Slice index 110. Head. Axial slice.
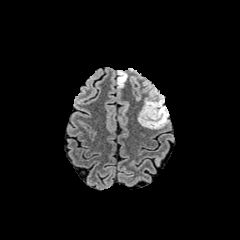
FLAIR MRI.
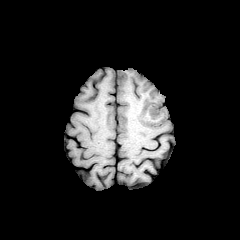
T1-weighted MRI.
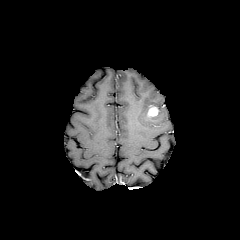
Same slice, post-contrast T1-weighted magnetic resonance.
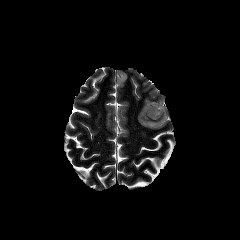
T2-weighted MR image.
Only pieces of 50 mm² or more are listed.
The enhancing tumor is located at box=[147, 105, 159, 117]. The 2 largest peritumoral edema regions appear at box=[117, 70, 127, 88]; box=[138, 81, 169, 129].